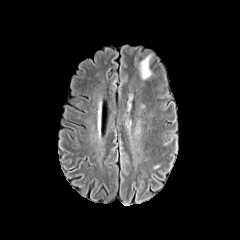
FLAIR MRI.
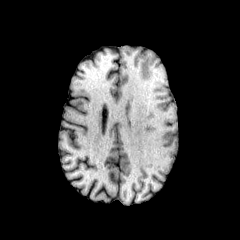
T1-weighted MR image of the same slice.
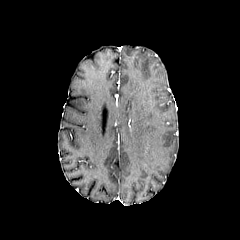
Same slice, post-contrast T1-weighted MR image.
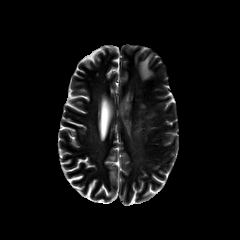
T2-weighted magnetic resonance.
Image size 240x240 | Brain | Axial view
peritumoral edema at (left=140, top=56, right=151, bottom=79)